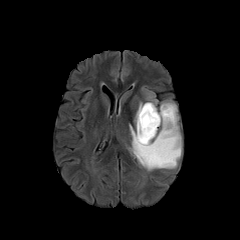
FLAIR magnetic resonance.
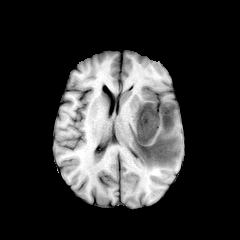
T1-weighted magnetic resonance.
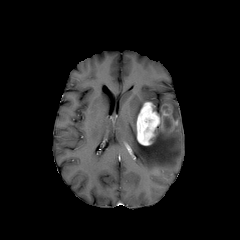
Same slice, post-contrast T1-weighted MRI.
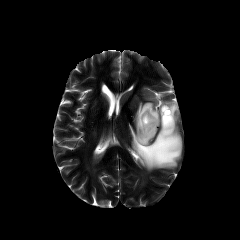
Same slice, T2-weighted MR image.
Head, 240x240 px, Axial slice
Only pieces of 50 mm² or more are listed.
necrotic tumor core: <bbox>164, 117, 171, 129</bbox> | peritumoral edema: <bbox>129, 100, 182, 171</bbox>, <bbox>147, 94, 157, 105</bbox>, <bbox>134, 102, 143, 125</bbox> | enhancing tumor: <bbox>136, 102, 177, 145</bbox>